Slice 88/155, Head
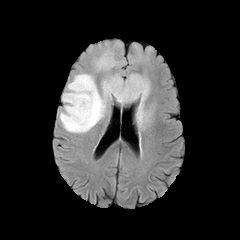
FLAIR magnetic resonance.
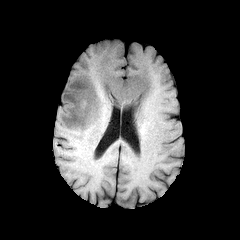
Same slice, T1-weighted magnetic resonance.
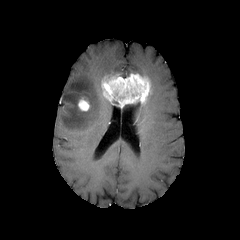
Same slice, post-contrast T1-weighted MR image.
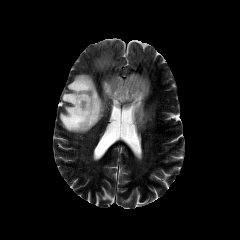
T2-weighted MR image.
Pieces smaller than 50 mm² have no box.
enhancing tumor at left=78, top=97, right=90, bottom=111; left=101, top=73, right=150, bottom=107
peritumoral edema at left=94, top=49, right=118, bottom=70; left=136, top=102, right=151, bottom=127; left=60, top=73, right=109, bottom=133